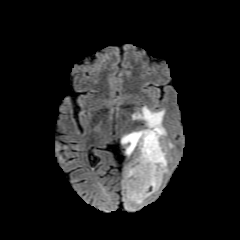
FLAIR MR image.
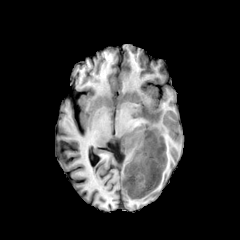
T1-weighted MRI of the same slice.
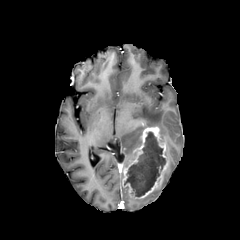
Same slice, post-contrast T1-weighted MRI.
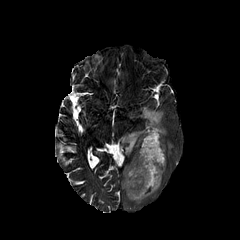
T2-weighted MRI.
Head, 240x240 px
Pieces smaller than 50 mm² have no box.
necrotic tumor core: bounding box [124, 132, 165, 197]
enhancing tumor: bounding box [122, 127, 168, 198]
peritumoral edema: bounding box [166, 142, 173, 156], [122, 186, 158, 209], [132, 106, 166, 140], [121, 130, 142, 156]